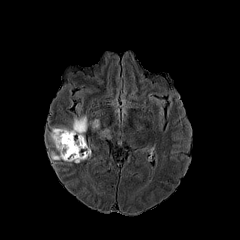
FLAIR MR image.
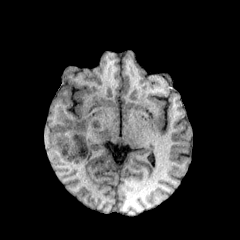
T1-weighted MR.
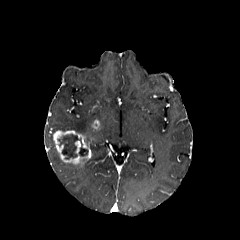
Same slice, post-contrast T1-weighted MR image.
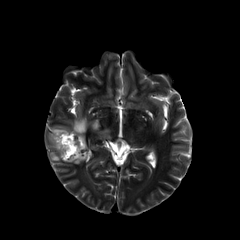
T2-weighted magnetic resonance of the same slice.
Axial view | 240x240
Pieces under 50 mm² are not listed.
Segmented structures:
* necrotic tumor core: x1=57 y1=134 x2=87 y2=159
* peritumoral edema: x1=100 y1=129 x2=110 y2=138, x1=72 y1=116 x2=88 y2=134, x1=49 y1=151 x2=60 y2=161
* enhancing tumor: x1=91 y1=120 x2=99 y2=130, x1=75 y1=140 x2=80 y2=153, x1=53 y1=130 x2=88 y2=166